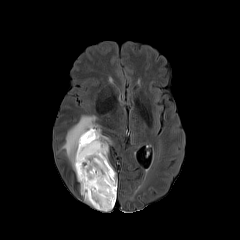
FLAIR MR image.
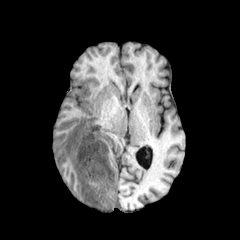
T1-weighted MR image of the same slice.
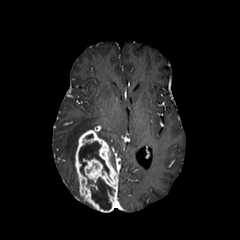
Same slice, post-contrast T1-weighted magnetic resonance.
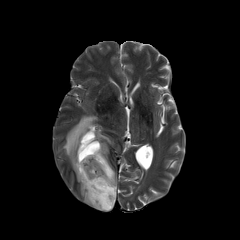
T2-weighted MRI of the same slice.
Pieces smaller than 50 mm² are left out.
The enhancing tumor is located at 75, 129, 117, 212. The 2 largest necrotic tumor core regions appear at 79, 141, 109, 175; 88, 178, 114, 210. The 2 largest peritumoral edema regions are located at 61, 115, 97, 171; 97, 130, 111, 144.